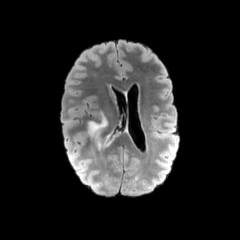
FLAIR MR image.
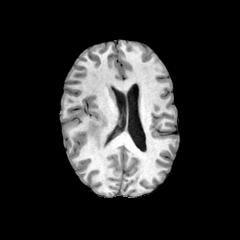
T1-weighted magnetic resonance of the same slice.
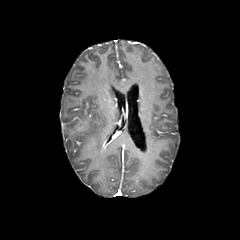
Post-contrast T1-weighted magnetic resonance of the same slice.
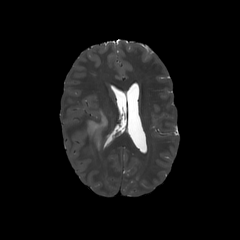
Same slice, T2-weighted MRI.
Head
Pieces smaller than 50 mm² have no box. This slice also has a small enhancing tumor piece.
The peritumoral edema is at region(88, 113, 107, 147).